FLAIR magnetic resonance.
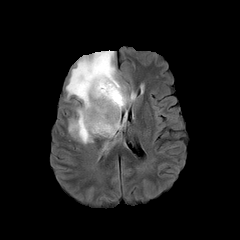
T1-weighted MRI.
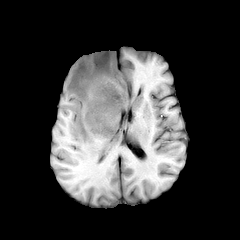
Post-contrast T1-weighted MR.
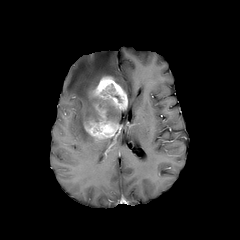
T2-weighted magnetic resonance.
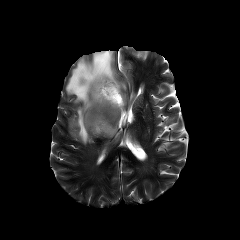
Axial view
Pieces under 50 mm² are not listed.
• enhancing tumor: bbox(84, 76, 127, 138)
• peritumoral edema: bbox(66, 50, 126, 144)
• necrotic tumor core: bbox(99, 99, 119, 121); bbox(102, 84, 121, 102)